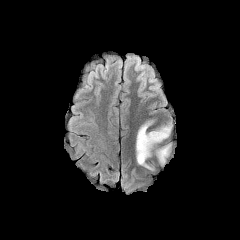
FLAIR MRI.
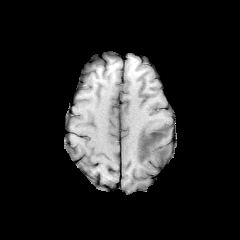
T1-weighted MRI.
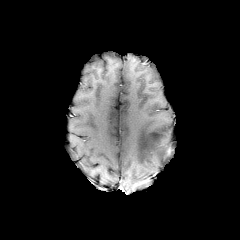
Post-contrast T1-weighted MR.
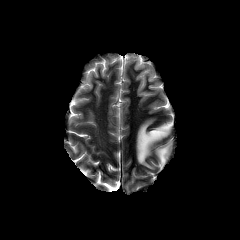
Same slice, T2-weighted magnetic resonance.
Head
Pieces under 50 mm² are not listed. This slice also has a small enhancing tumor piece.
peritumoral edema: 136, 120, 172, 169